Image width 240 mm; Brain; 240x240 px
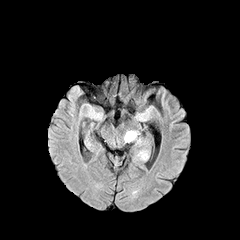
FLAIR MRI.
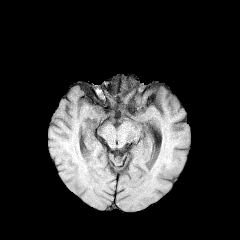
T1-weighted magnetic resonance.
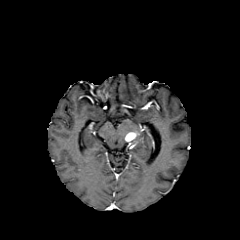
Post-contrast T1-weighted MR.
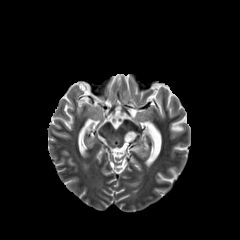
Same slice, T2-weighted MRI.
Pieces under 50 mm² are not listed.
peritumoral_edema:
  - 138:150:147:159
enhancing_tumor:
  - 125:132:137:141